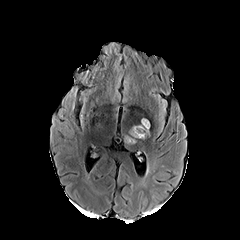
FLAIR MRI.
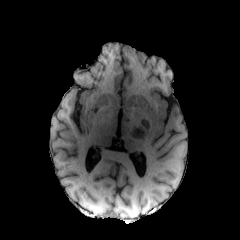
Same slice, T1-weighted MR.
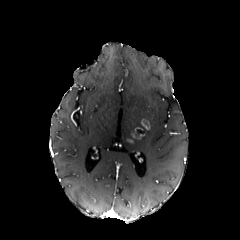
Post-contrast T1-weighted MR.
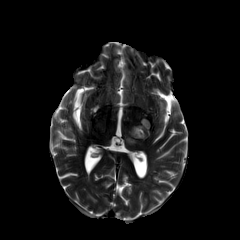
T2-weighted MR.
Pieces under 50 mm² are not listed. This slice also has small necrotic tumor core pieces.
<segmentation>
  <enhancing_tumor>x1=141 y1=119 x2=149 y2=129</enhancing_tumor>
  <peritumoral_edema>x1=123 y1=135 x2=136 y2=144, x1=128 y1=125 x2=142 y2=135</peritumoral_edema>
</segmentation>